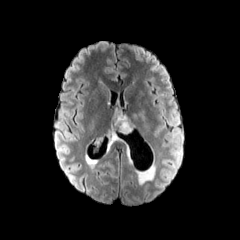
FLAIR MR.
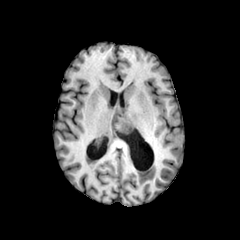
T1-weighted MRI of the same slice.
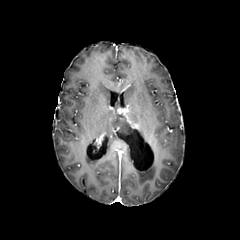
Post-contrast T1-weighted MR.
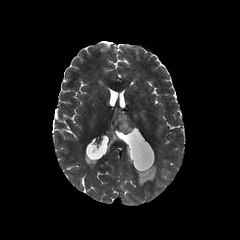
T2-weighted MR image of the same slice.
Axial slice; 240x240
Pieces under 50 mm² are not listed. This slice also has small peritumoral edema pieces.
The largest enhancing tumor region is at [112, 107, 134, 129]. The necrotic tumor core appears at [113, 114, 132, 134].